FLAIR MR image.
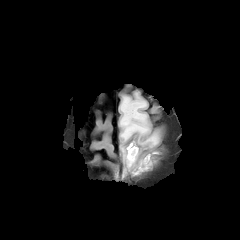
T1-weighted MR.
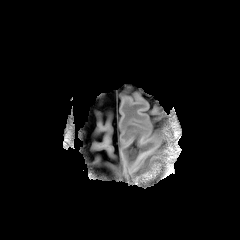
Post-contrast T1-weighted MRI.
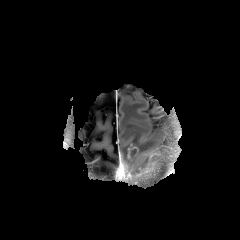
T2-weighted MRI.
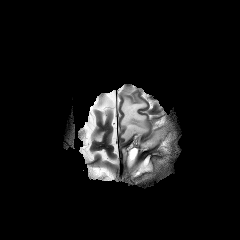
Brain
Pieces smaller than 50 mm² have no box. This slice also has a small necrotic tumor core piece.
Findings:
• enhancing tumor: rect(127, 144, 138, 162); rect(124, 154, 154, 178)
• peritumoral edema: rect(142, 133, 158, 146); rect(122, 145, 151, 174); rect(120, 97, 148, 141)